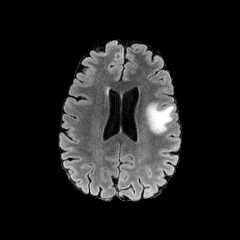
FLAIR MR image.
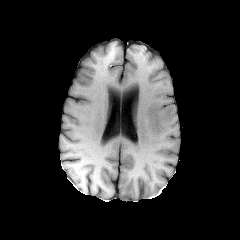
T1-weighted MR.
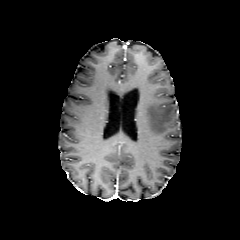
Same slice, post-contrast T1-weighted MRI.
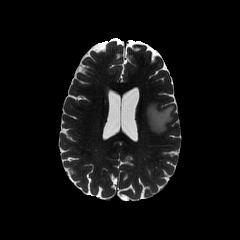
T2-weighted MR image of the same slice.
Axial slice. Head.
{"peritumoral_edema": ["[146,103,174,133]"]}